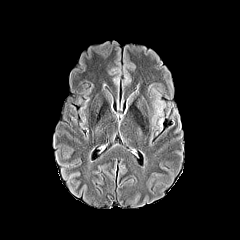
FLAIR MR.
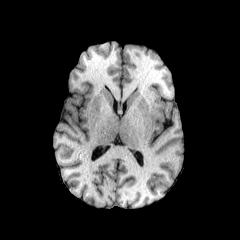
T1-weighted MR image of the same slice.
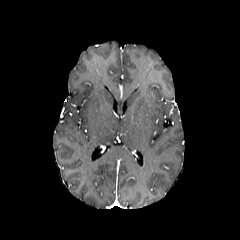
Same slice, post-contrast T1-weighted MR image.
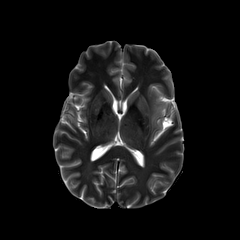
T2-weighted MR.
Brain. Axial slice.
The peritumoral edema lies within 155 102 162 116.